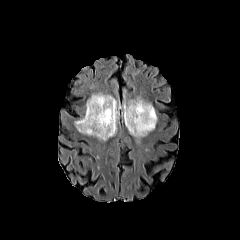
FLAIR MR image.
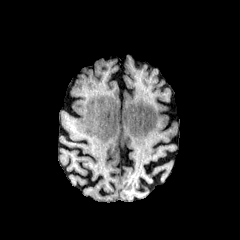
Same slice, T1-weighted MR image.
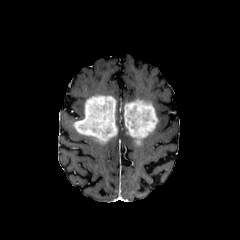
Post-contrast T1-weighted MRI.
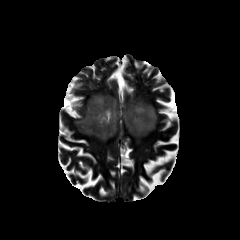
Same slice, T2-weighted MRI.
Head, Axial view
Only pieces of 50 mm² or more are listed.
The largest peritumoral edema region appears at region(117, 101, 125, 124). 2 enhancing tumor regions are located at region(123, 99, 157, 144); region(74, 95, 121, 142).